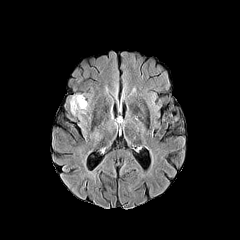
FLAIR MR.
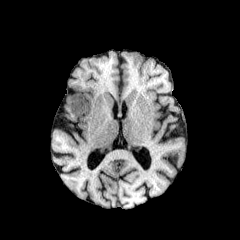
Same slice, T1-weighted MRI.
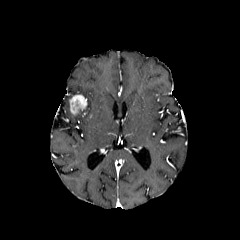
Same slice, post-contrast T1-weighted MRI.
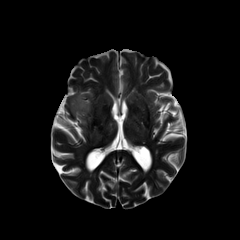
Same slice, T2-weighted MR image.
Head. Axial plane.
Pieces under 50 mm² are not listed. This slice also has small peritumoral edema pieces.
Annotated regions:
- enhancing tumor: [69, 94, 87, 115]